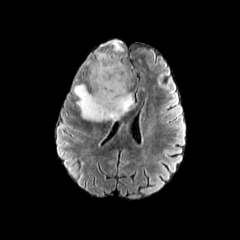
FLAIR MR.
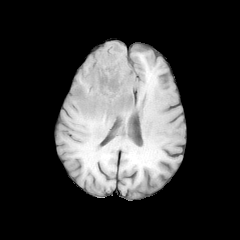
T1-weighted MR.
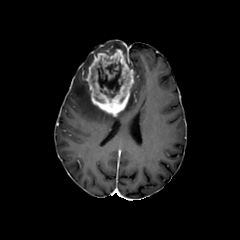
Post-contrast T1-weighted MR image of the same slice.
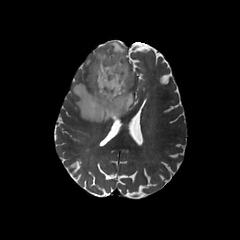
Same slice, T2-weighted MR image.
Brain
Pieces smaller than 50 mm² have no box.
<segmentation>
  <peritumoral_edema>(x1=86, y1=39, x2=124, y2=66), (x1=73, y1=83, x2=137, y2=146)</peritumoral_edema>
  <necrotic_tumor_core>(x1=89, y1=70, x2=94, y2=86), (x1=96, y1=56, x2=125, y2=102)</necrotic_tumor_core>
  <enhancing_tumor>(x1=85, y1=47, x2=133, y2=116)</enhancing_tumor>
</segmentation>